FLAIR MR image.
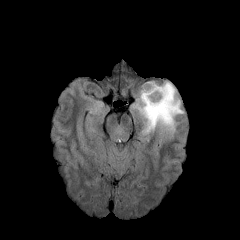
T1-weighted MR.
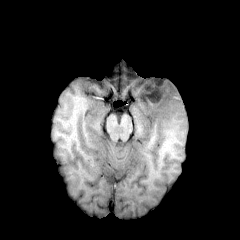
Post-contrast T1-weighted MR.
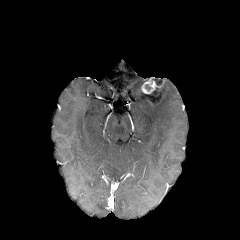
T2-weighted magnetic resonance.
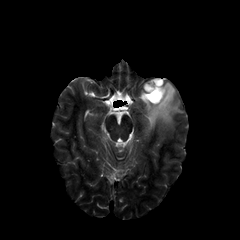
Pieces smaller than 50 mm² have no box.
The 2 largest peritumoral edema regions appear at rect(160, 84, 165, 98); rect(132, 81, 183, 135). The largest necrotic tumor core region lies within rect(147, 93, 160, 102). 2 enhancing tumor regions appear at rect(146, 81, 167, 104); rect(141, 81, 162, 95).